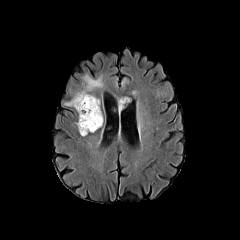
FLAIR MR.
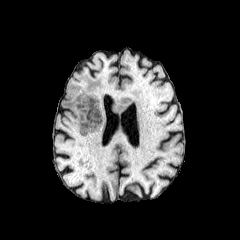
T1-weighted MR image of the same slice.
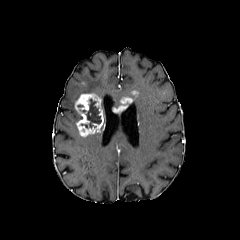
Post-contrast T1-weighted MRI of the same slice.
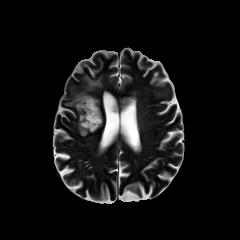
Same slice, T2-weighted magnetic resonance.
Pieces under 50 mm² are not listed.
<segmentation>
  <enhancing_tumor><box>113,105,127,112</box>, <box>74,93,103,136</box>, <box>120,97,132,103</box></enhancing_tumor>
  <necrotic_tumor_core><box>86,99,101,127</box></necrotic_tumor_core>
  <peritumoral_edema><box>64,74,103,106</box></peritumoral_edema>
</segmentation>